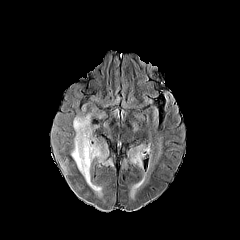
FLAIR MR.
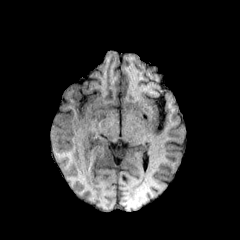
Same slice, T1-weighted MR image.
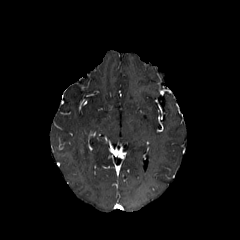
Same slice, post-contrast T1-weighted MR image.
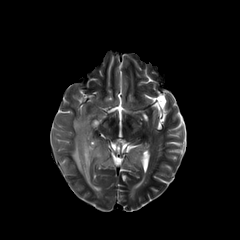
Same slice, T2-weighted MR image.
Axial plane. Head.
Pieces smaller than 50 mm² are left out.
peritumoral_edema:
  - x1=131, y1=148, x2=142, y2=166
  - x1=57, y1=114, x2=106, y2=195